Image size 240x240
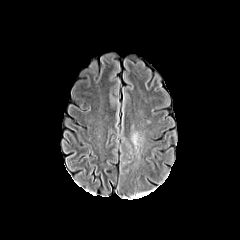
FLAIR MR.
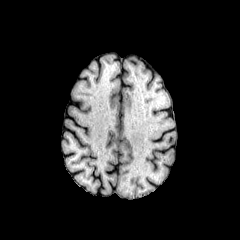
Same slice, T1-weighted MR.
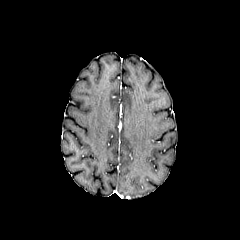
Post-contrast T1-weighted magnetic resonance of the same slice.
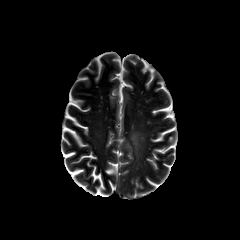
T2-weighted magnetic resonance.
The peritumoral edema appears at rect(132, 134, 137, 145).